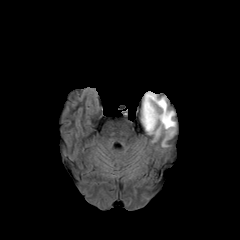
FLAIR MRI.
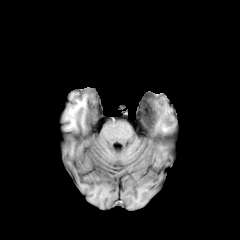
T1-weighted MR image.
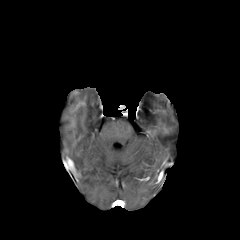
Post-contrast T1-weighted MR.
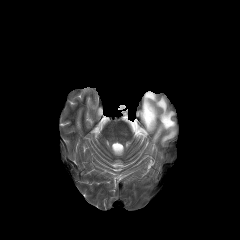
T2-weighted MRI.
Image size 240x240
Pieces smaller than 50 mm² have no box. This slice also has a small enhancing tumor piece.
Segmented structures:
* peritumoral edema: x1=141 y1=91 x2=175 y2=141